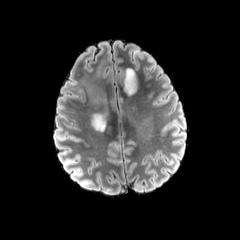
FLAIR MR.
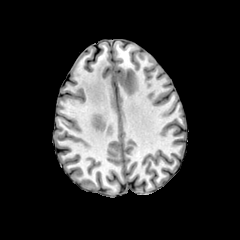
T1-weighted MR image of the same slice.
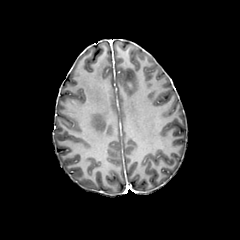
Same slice, post-contrast T1-weighted MRI.
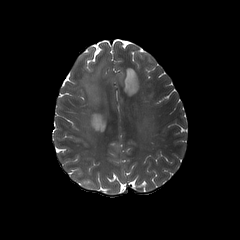
T2-weighted MR of the same slice.
240x240 px, Axial plane, Brain
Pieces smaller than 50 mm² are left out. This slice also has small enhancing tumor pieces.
2 peritumoral edema regions appear at region(123, 67, 139, 96); region(79, 58, 114, 131).